Slice 106 of 155.
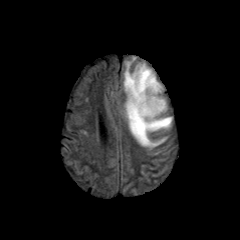
FLAIR MR.
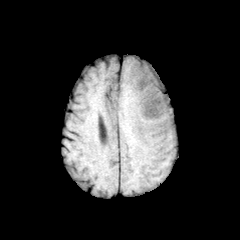
Same slice, T1-weighted magnetic resonance.
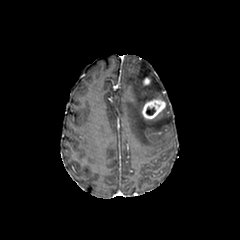
Post-contrast T1-weighted MRI.
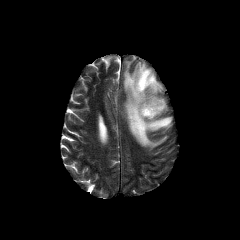
T2-weighted MRI.
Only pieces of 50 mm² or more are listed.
{"enhancing_tumor": ["region(142, 98, 165, 119)", "region(143, 77, 150, 85)"], "peritumoral_edema": ["region(123, 61, 171, 148)"], "necrotic_tumor_core": ["region(146, 108, 155, 115)"]}